FLAIR MRI.
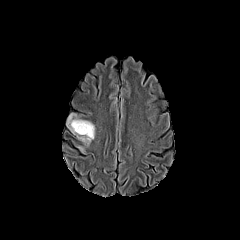
T1-weighted MR.
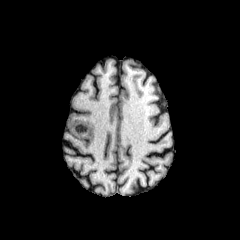
Post-contrast T1-weighted MR.
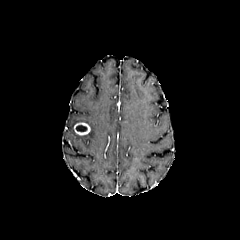
T2-weighted MRI.
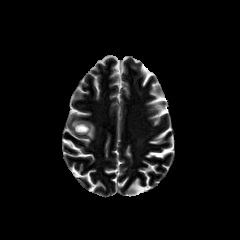
Head, 240x240
• necrotic tumor core: (76, 125, 87, 131)
• enhancing tumor: (74, 122, 90, 135)
• peritumoral edema: (67, 113, 95, 146)